Slice index 104 | Image size 240x240 | Brain
FLAIR magnetic resonance.
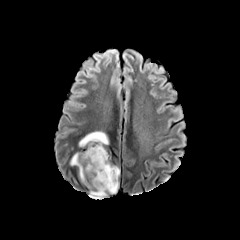
T1-weighted magnetic resonance.
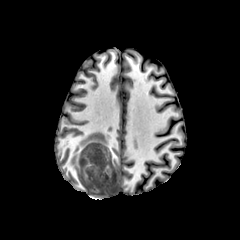
Post-contrast T1-weighted MRI.
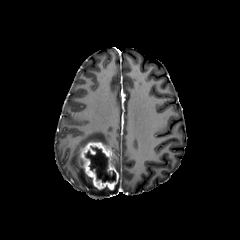
T2-weighted MRI.
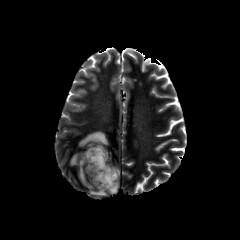
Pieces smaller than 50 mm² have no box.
Annotated regions:
• peritumoral edema: x1=70 y1=152 x2=118 y2=197, x1=79 y1=131 x2=108 y2=147
• necrotic tumor core: x1=85 y1=146 x2=115 y2=182
• enhancing tumor: x1=77 y1=142 x2=118 y2=190